Slice 80 of 155
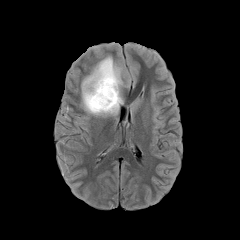
FLAIR MR.
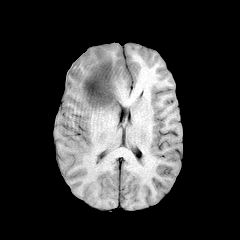
T1-weighted MR.
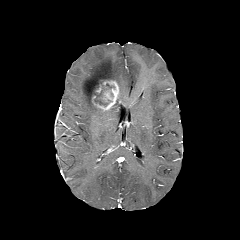
Post-contrast T1-weighted MR image.
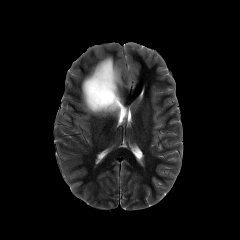
T2-weighted MR.
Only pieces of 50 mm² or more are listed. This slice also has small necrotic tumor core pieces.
<segmentation>
  <enhancing_tumor>[92,80,118,110]</enhancing_tumor>
  <peritumoral_edema>[81,56,123,116]</peritumoral_edema>
</segmentation>